FLAIR magnetic resonance.
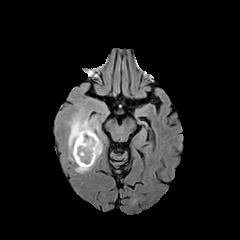
T1-weighted MR image.
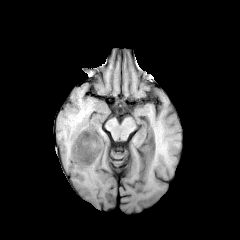
Post-contrast T1-weighted MR.
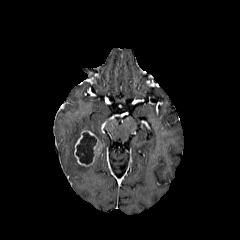
T2-weighted MRI.
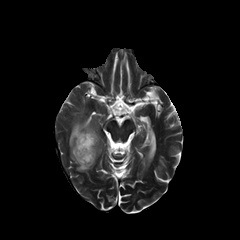
240x240
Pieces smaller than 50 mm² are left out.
necrotic tumor core: l=76, t=132, r=96, b=164
peritumoral edema: l=64, t=82, r=109, b=174
enhancing tumor: l=74, t=130, r=102, b=166